Axial view, 240x240
FLAIR MR image.
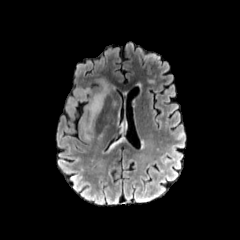
T1-weighted MRI.
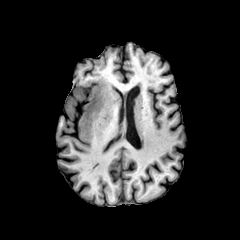
Post-contrast T1-weighted magnetic resonance.
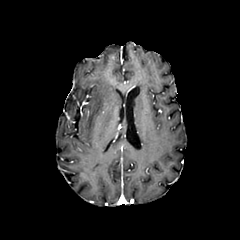
T2-weighted MRI.
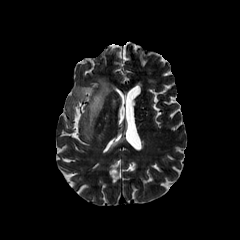
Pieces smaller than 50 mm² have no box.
peritumoral edema at box=[67, 79, 113, 132]